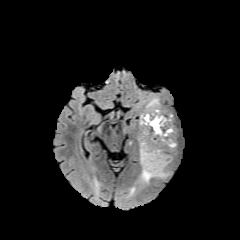
FLAIR magnetic resonance.
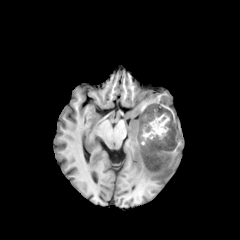
Same slice, T1-weighted MRI.
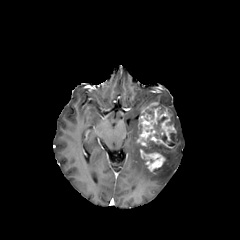
Same slice, post-contrast T1-weighted MRI.
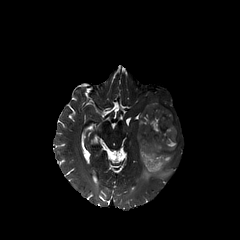
T2-weighted magnetic resonance.
240x240.
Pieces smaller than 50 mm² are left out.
enhancing tumor: box=[140, 146, 166, 171]; box=[137, 102, 176, 148]
necrotic tumor core: box=[145, 109, 153, 119]; box=[142, 135, 172, 156]; box=[151, 116, 174, 146]
peritumoral edema: box=[140, 153, 171, 183]